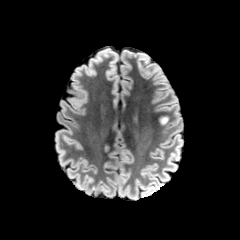
FLAIR MRI.
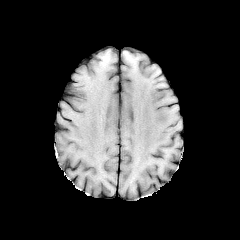
T1-weighted MRI of the same slice.
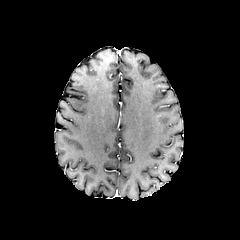
Same slice, post-contrast T1-weighted MRI.
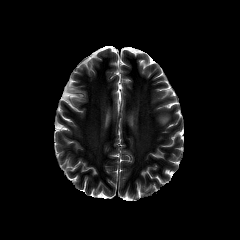
T2-weighted MR of the same slice.
The peritumoral edema lies within <box>159,116,168,124</box>.